Slice index 87
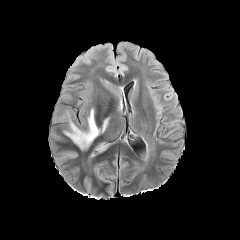
FLAIR MR image.
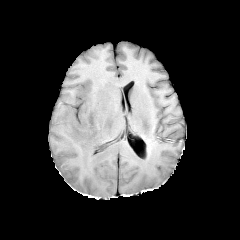
T1-weighted MRI.
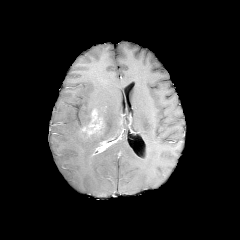
Post-contrast T1-weighted MR image.
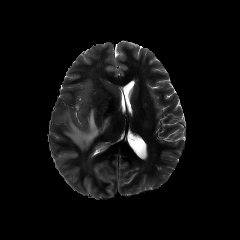
T2-weighted magnetic resonance.
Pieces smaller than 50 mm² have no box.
enhancing tumor: rect(87, 110, 99, 135); rect(96, 142, 109, 152) | peritumoral edema: rect(60, 108, 109, 149)